240x240, Slice index 59
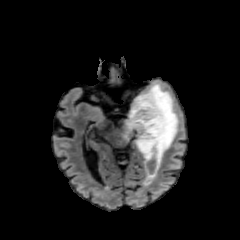
FLAIR magnetic resonance.
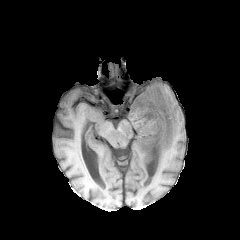
T1-weighted magnetic resonance.
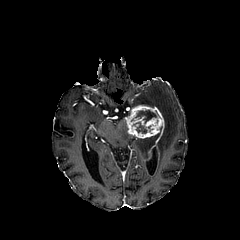
Same slice, post-contrast T1-weighted MR.
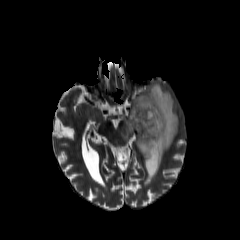
T2-weighted MR image.
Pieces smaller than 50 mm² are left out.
{"enhancing_tumor": ["(125, 104, 164, 176)"], "necrotic_tumor_core": ["(136, 122, 146, 133)", "(134, 110, 156, 123)"], "peritumoral_edema": ["(121, 82, 178, 188)"]}